Slice 130 of 155
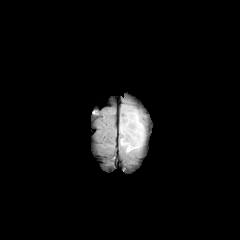
FLAIR MRI.
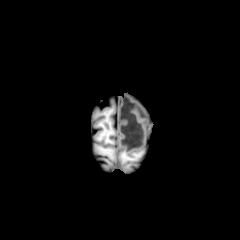
T1-weighted MR image.
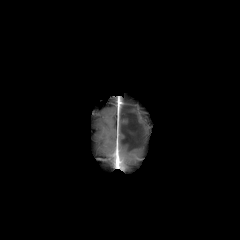
Same slice, post-contrast T1-weighted MRI.
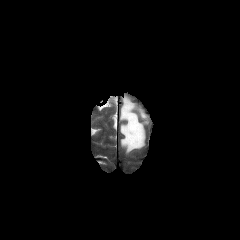
T2-weighted magnetic resonance of the same slice.
- peritumoral edema: [120,104,143,152]